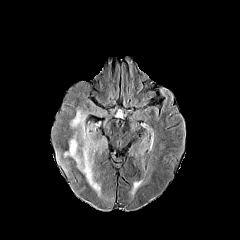
FLAIR magnetic resonance.
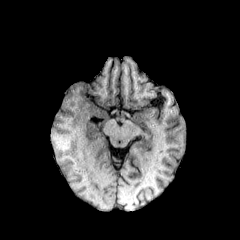
Same slice, T1-weighted MR.
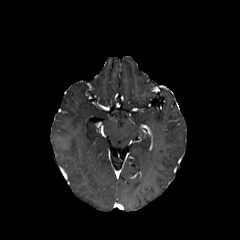
Post-contrast T1-weighted MRI.
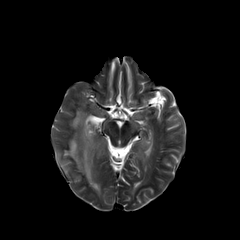
T2-weighted MRI of the same slice.
Axial plane. 240x240.
{
  "peritumoral_edema": [
    "65, 110, 104, 195",
    "55, 149, 70, 175"
  ]
}